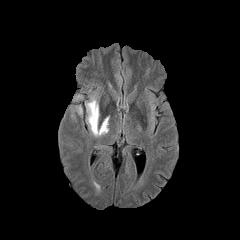
FLAIR MR.
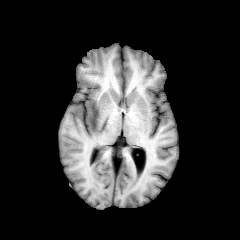
T1-weighted MR image of the same slice.
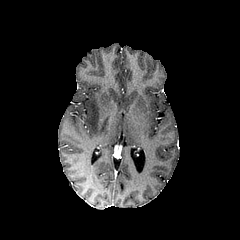
Post-contrast T1-weighted magnetic resonance.
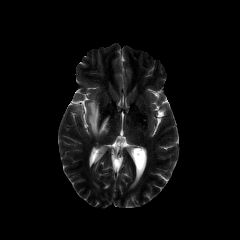
T2-weighted MRI of the same slice.
Axial slice | Head | Image size 240x240
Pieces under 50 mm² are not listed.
- peritumoral edema: rect(86, 98, 108, 136)